Brain, Image covers 240 mm x 240 mm, Axial slice
FLAIR MR.
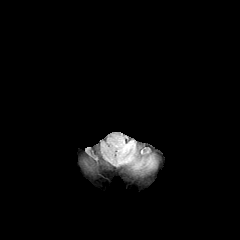
T1-weighted MRI.
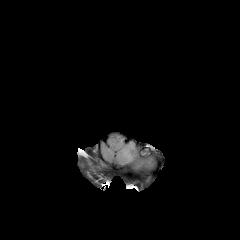
Post-contrast T1-weighted magnetic resonance.
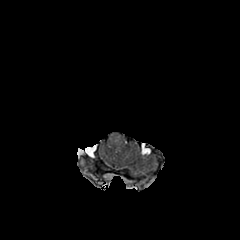
T2-weighted magnetic resonance.
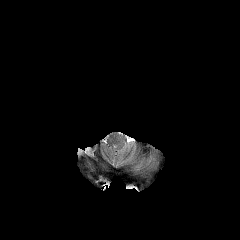
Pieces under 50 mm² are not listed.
The largest peritumoral edema region lies within (115, 140, 135, 164).